FLAIR MR image.
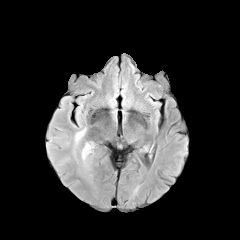
T1-weighted MR image.
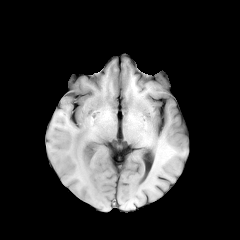
Post-contrast T1-weighted MR image.
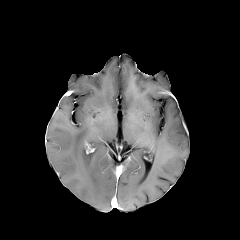
T2-weighted magnetic resonance.
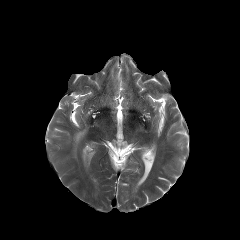
240x240 px
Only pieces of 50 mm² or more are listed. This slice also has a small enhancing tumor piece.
peritumoral edema = {"x1": 75, "y1": 129, "x2": 85, "y2": 144}, {"x1": 82, "y1": 143, "x2": 89, "y2": 160}